FLAIR MR.
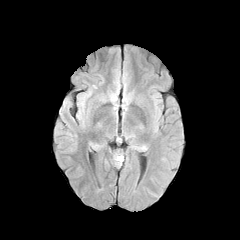
T1-weighted magnetic resonance.
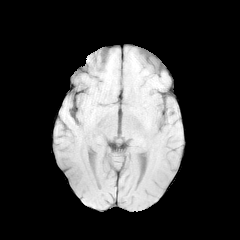
Post-contrast T1-weighted MR image.
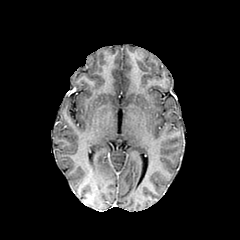
T2-weighted MR.
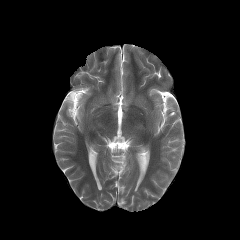
Head
peritumoral edema: l=114, t=154, r=123, b=166